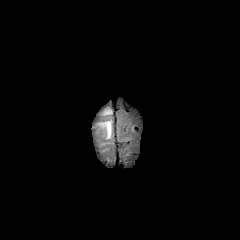
FLAIR MRI.
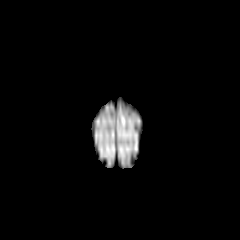
T1-weighted MR of the same slice.
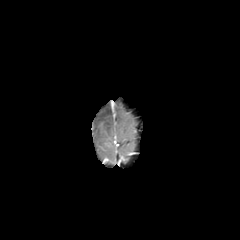
Post-contrast T1-weighted MR image.
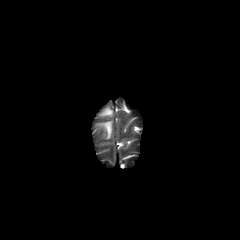
T2-weighted magnetic resonance.
Axial view
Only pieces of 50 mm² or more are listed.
The largest peritumoral edema region is bounded by 98,120,112,138.